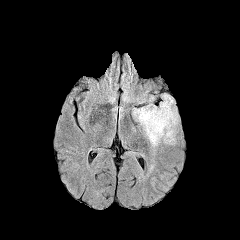
FLAIR MRI.
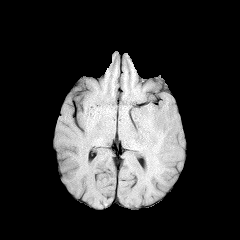
T1-weighted MR.
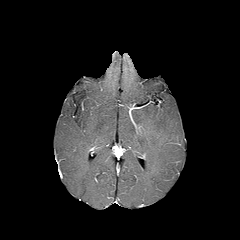
Post-contrast T1-weighted magnetic resonance.
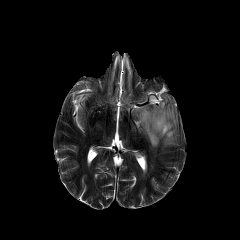
T2-weighted MR.
240x240. Head.
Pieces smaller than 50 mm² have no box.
peritumoral edema = l=133, t=94, r=177, b=147